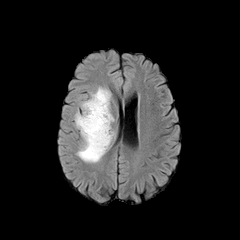
FLAIR MR.
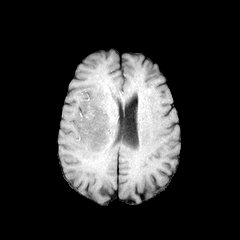
T1-weighted MR of the same slice.
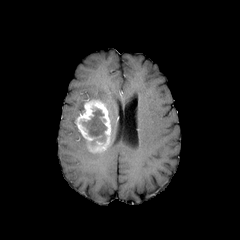
Post-contrast T1-weighted MRI.
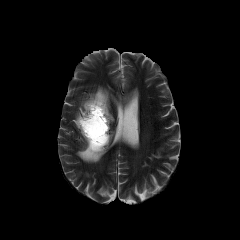
Same slice, T2-weighted magnetic resonance.
Axial slice
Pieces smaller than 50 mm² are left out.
peritumoral edema = [77, 136, 110, 162], [88, 87, 114, 122]
enhancing tumor = [75, 99, 111, 153]
necrotic tumor core = [83, 110, 106, 140]